Axial slice; Slice 73 of 155
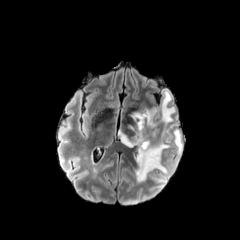
FLAIR MRI.
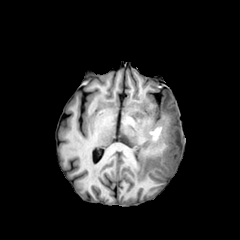
Same slice, T1-weighted MRI.
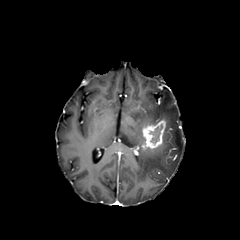
Post-contrast T1-weighted MR image.
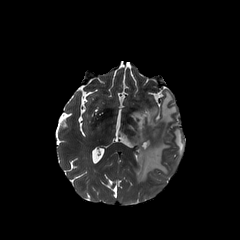
T2-weighted MR image of the same slice.
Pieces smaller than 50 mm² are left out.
peritumoral edema: bounding box left=120, top=90, right=182, bottom=182
enhancing tumor: bounding box left=140, top=119, right=166, bottom=149
necrotic tumor core: bounding box left=150, top=125, right=162, bottom=142